Brain. Axial plane.
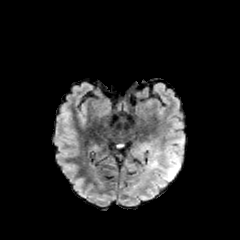
FLAIR MRI.
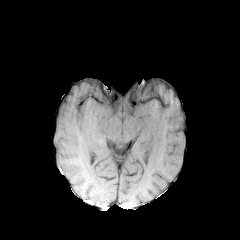
T1-weighted MR image.
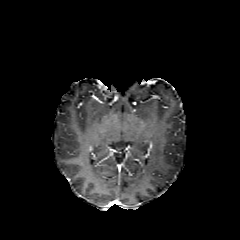
Post-contrast T1-weighted MR of the same slice.
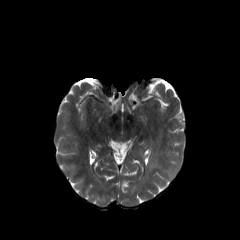
T2-weighted magnetic resonance.
The peritumoral edema is located at 150:136:184:180.